FLAIR MR image.
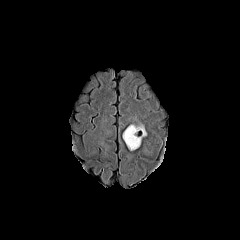
T1-weighted MR.
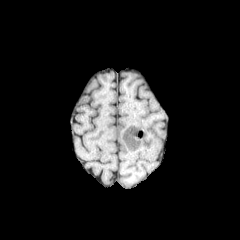
Post-contrast T1-weighted magnetic resonance.
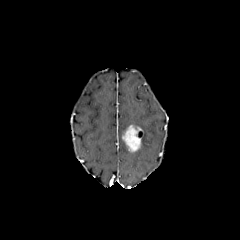
T2-weighted magnetic resonance.
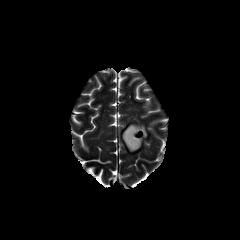
240x240 px
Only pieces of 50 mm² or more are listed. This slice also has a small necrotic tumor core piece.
{"enhancing_tumor": ["(x1=122, y1=125, x2=143, y2=151)"], "peritumoral_edema": ["(x1=135, y1=123, x2=146, y2=137)"]}